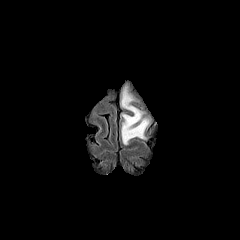
FLAIR MR image.
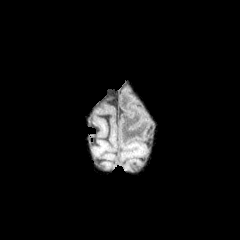
T1-weighted MRI.
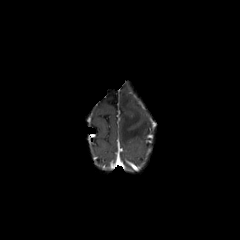
Same slice, post-contrast T1-weighted magnetic resonance.
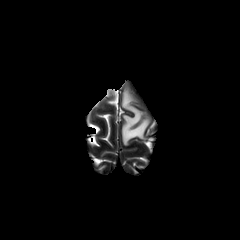
T2-weighted magnetic resonance.
Axial slice, Image size 240x240
peritumoral edema: [x1=120, y1=82, x2=151, y2=145]